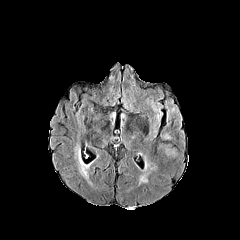
FLAIR magnetic resonance.
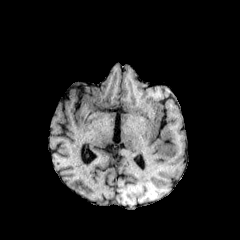
T1-weighted magnetic resonance of the same slice.
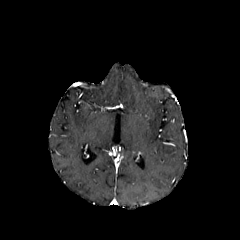
Post-contrast T1-weighted MR image.
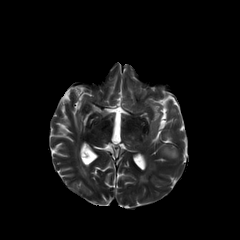
T2-weighted MR image of the same slice.
240x240 px | Brain
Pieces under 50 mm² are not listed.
Findings:
- peritumoral edema: (161,147,177,158), (151,105,162,137)